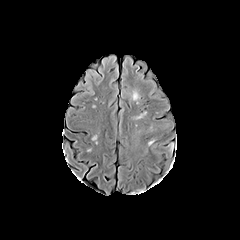
FLAIR magnetic resonance.
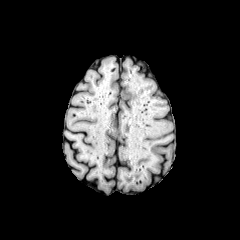
T1-weighted MRI.
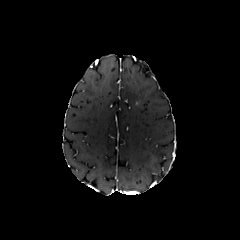
Same slice, post-contrast T1-weighted magnetic resonance.
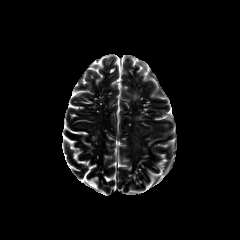
T2-weighted MRI of the same slice.
Axial view
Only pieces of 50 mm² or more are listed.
Segmented structures:
- peritumoral edema: box=[131, 91, 138, 99]